Image size 240x240; Axial plane; Brain
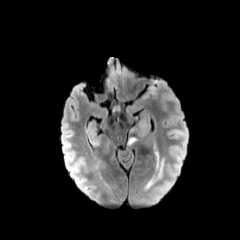
FLAIR MR image.
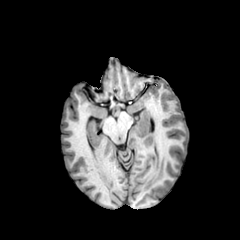
T1-weighted MR.
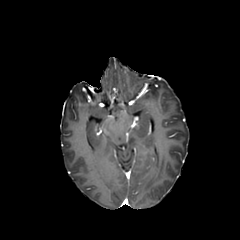
Post-contrast T1-weighted magnetic resonance of the same slice.
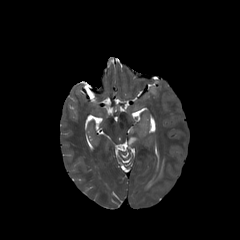
T2-weighted MRI.
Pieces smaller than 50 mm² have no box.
<segmentation>
  <peritumoral_edema>[x1=145, y1=152, x2=163, y2=189]</peritumoral_edema>
</segmentation>